Head; Slice index 85
FLAIR MRI.
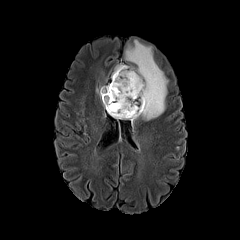
T1-weighted MR image.
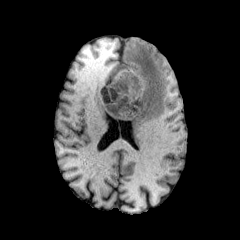
Post-contrast T1-weighted MRI.
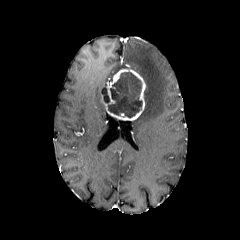
T2-weighted MR.
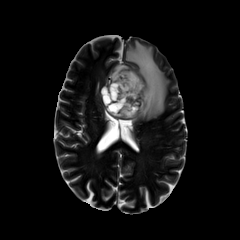
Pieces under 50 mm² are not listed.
Annotated regions:
- necrotic tumor core: <box>101,87,109,103</box>, <box>108,72,142,117</box>
- peritumoral edema: <box>112,64,127,77</box>, <box>125,40,168,120</box>
- enhancing tumor: <box>101,66,145,120</box>